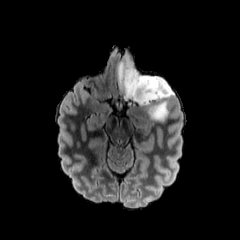
FLAIR MR image.
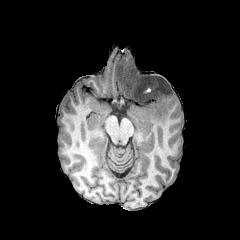
T1-weighted MRI.
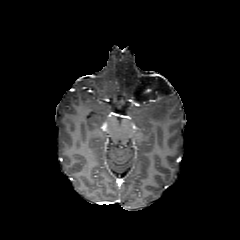
Same slice, post-contrast T1-weighted MRI.
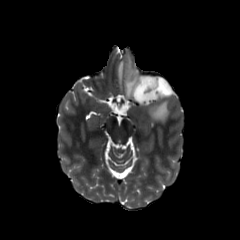
T2-weighted MR.
Brain
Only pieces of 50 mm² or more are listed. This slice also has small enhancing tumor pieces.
The peritumoral edema is bounded by l=117, t=56, r=174, b=122.